FLAIR MR image.
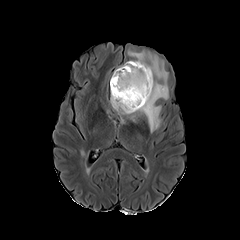
T1-weighted MR.
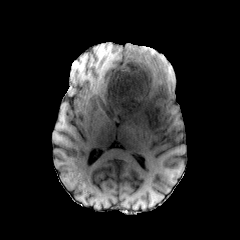
Post-contrast T1-weighted MR.
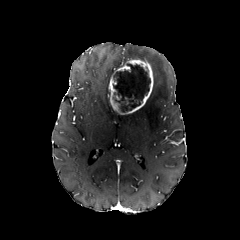
T2-weighted MR image.
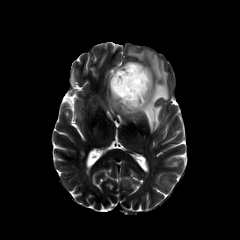
Axial plane
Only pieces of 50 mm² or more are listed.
peritumoral edema: bbox=[128, 51, 145, 60]; bbox=[126, 53, 168, 132]
necrotic tumor core: bbox=[113, 63, 150, 112]
enhancing tumor: bbox=[109, 59, 153, 114]